Head, Image size 240x240
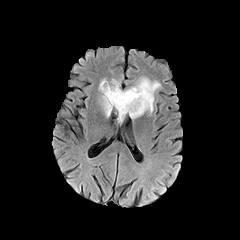
FLAIR MRI.
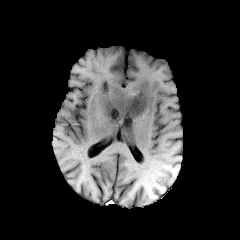
T1-weighted MRI of the same slice.
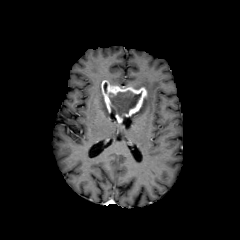
Same slice, post-contrast T1-weighted MRI.
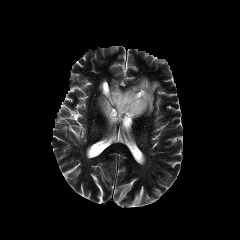
T2-weighted MR image of the same slice.
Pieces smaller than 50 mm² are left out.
The enhancing tumor is located at [101,80,147,123]. The largest necrotic tumor core region lies within [109,91,141,117]. The 2 largest peritumoral edema regions are bounded by [99,81,110,117], [130,77,160,118].